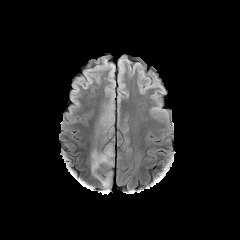
FLAIR MR image.
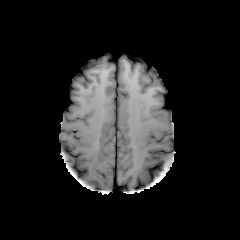
T1-weighted MR.
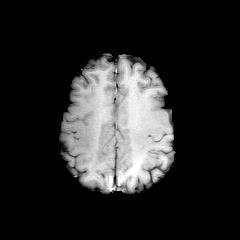
Same slice, post-contrast T1-weighted MRI.
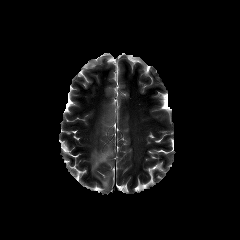
T2-weighted MRI of the same slice.
Head; Axial slice
Annotated regions:
* peritumoral edema: (91, 144, 113, 188), (103, 116, 111, 127)